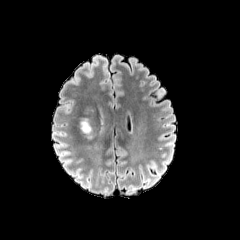
FLAIR MR.
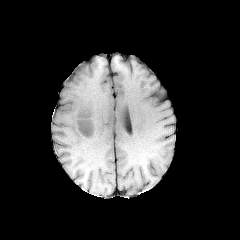
T1-weighted MR image of the same slice.
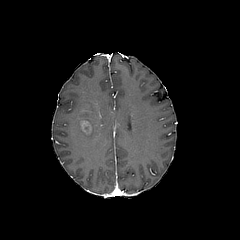
Post-contrast T1-weighted MR.
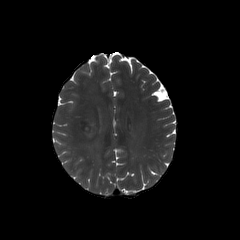
Same slice, T2-weighted MR image.
240x240 px
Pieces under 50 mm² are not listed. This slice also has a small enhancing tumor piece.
<segmentation>
  <peritumoral_edema>rect(81, 119, 91, 134)</peritumoral_edema>
</segmentation>